Brain | Image width 240 mm | Slice 95 of 155
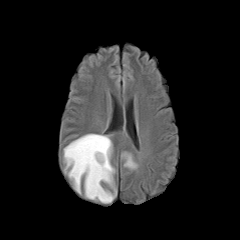
FLAIR MR.
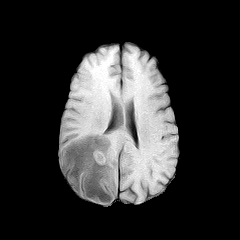
T1-weighted magnetic resonance of the same slice.
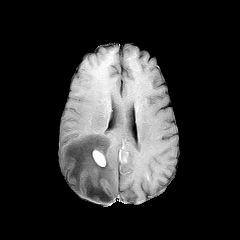
Post-contrast T1-weighted MR.
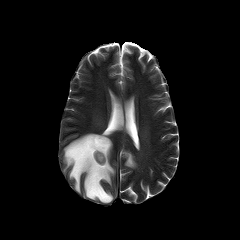
Same slice, T2-weighted magnetic resonance.
{"peritumoral_edema": ["63, 133, 116, 203", "123, 152, 136, 168"], "enhancing_tumor": ["92, 150, 105, 166"]}